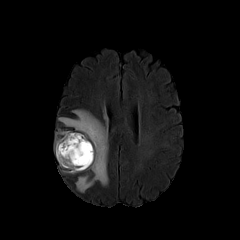
FLAIR MR.
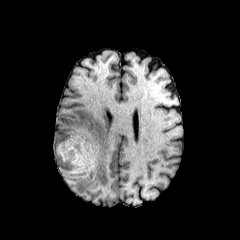
T1-weighted MR.
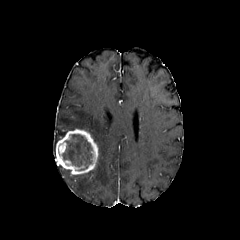
Same slice, post-contrast T1-weighted MRI.
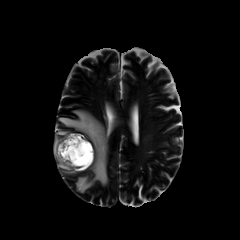
T2-weighted magnetic resonance.
Brain | Axial plane
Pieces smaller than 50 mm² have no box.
The enhancing tumor is at box(56, 129, 98, 174). The 2 largest peritumoral edema regions appear at box(58, 109, 108, 192); box(54, 130, 67, 155). The necrotic tumor core lies within box(62, 134, 92, 170).